FLAIR MRI.
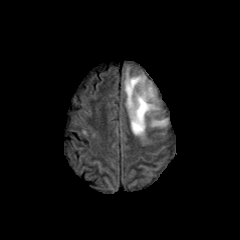
T1-weighted MR image.
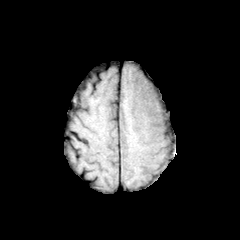
Post-contrast T1-weighted MRI.
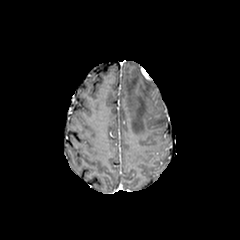
T2-weighted magnetic resonance.
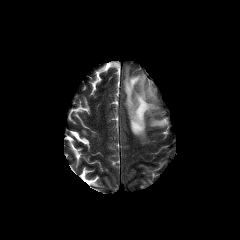
Axial slice
2 peritumoral edema regions appear at bbox=[150, 119, 166, 126]; bbox=[124, 70, 158, 136].